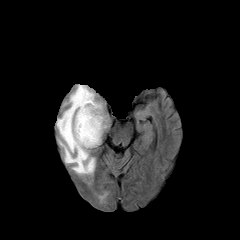
FLAIR MR.
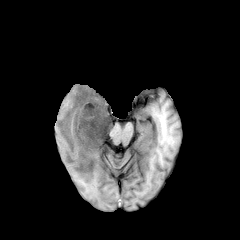
T1-weighted MR image.
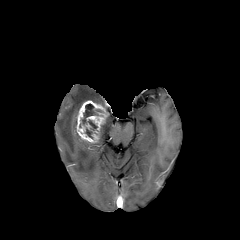
Post-contrast T1-weighted magnetic resonance.
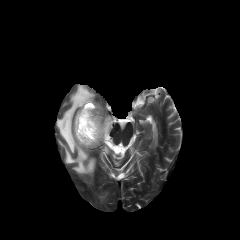
T2-weighted MR image.
Head, Axial slice
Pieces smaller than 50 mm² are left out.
The largest enhancing tumor region is bounded by {"x1": 74, "y1": 100, "x2": 107, "y2": 144}. The peritumoral edema appears at {"x1": 56, "y1": 84, "x2": 109, "y2": 175}. The largest necrotic tumor core region is at {"x1": 82, "y1": 104, "x2": 95, "y2": 124}.